Slice 82 of 155 | Image width 240 mm
FLAIR magnetic resonance.
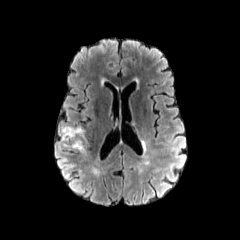
T1-weighted MR.
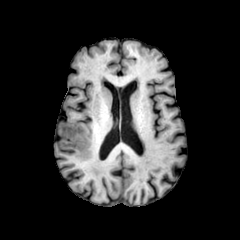
Post-contrast T1-weighted MRI.
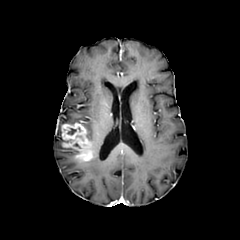
T2-weighted magnetic resonance.
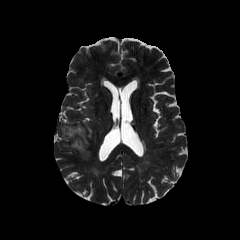
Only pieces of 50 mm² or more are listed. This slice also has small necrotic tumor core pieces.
enhancing tumor: x1=61, y1=123, x2=93, y2=160